FLAIR magnetic resonance.
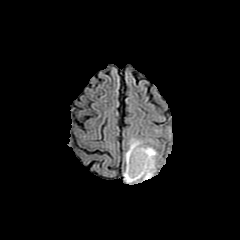
T1-weighted MR.
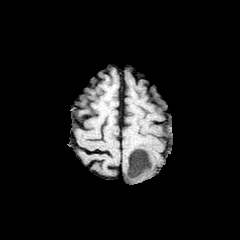
Post-contrast T1-weighted MRI.
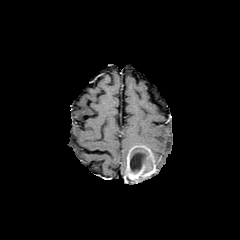
T2-weighted MRI.
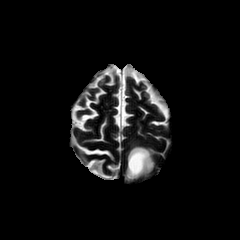
Brain
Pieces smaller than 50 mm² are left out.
The 3 largest peritumoral edema regions are bounded by [x1=125, y1=138, x2=142, y2=167], [x1=146, y1=146, x2=157, y2=163], [x1=124, y1=174, x2=153, y2=183]. The enhancing tumor is bounded by [x1=124, y1=145, x2=155, y2=180]. The largest necrotic tumor core region lies within [x1=130, y1=152, x2=146, y2=171].